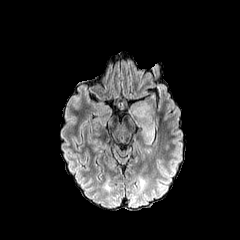
FLAIR MR image.
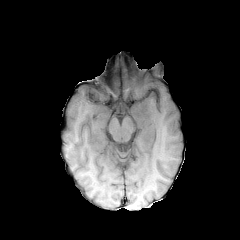
T1-weighted MRI.
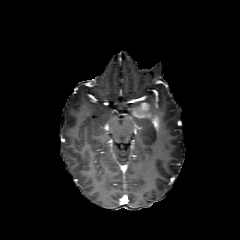
Post-contrast T1-weighted MR of the same slice.
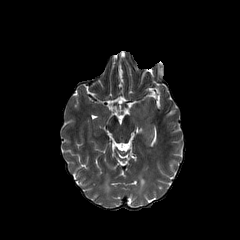
T2-weighted MRI.
Image size 240x240, Axial plane, Brain
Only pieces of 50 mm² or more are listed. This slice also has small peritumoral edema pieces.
enhancing tumor: region(132, 102, 151, 118)